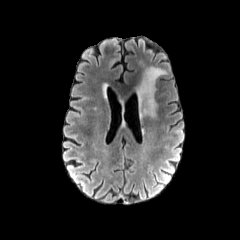
FLAIR MR.
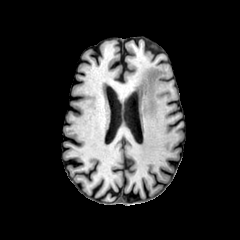
T1-weighted MR image.
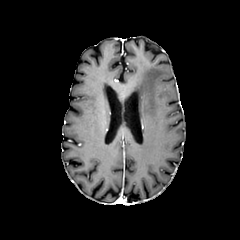
Same slice, post-contrast T1-weighted MR.
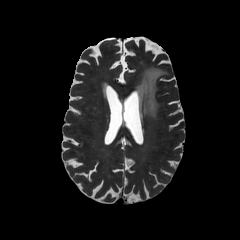
T2-weighted magnetic resonance of the same slice.
<segmentation>
  <peritumoral_edema>x1=137, y1=66, x2=167, y2=118</peritumoral_edema>
</segmentation>